FLAIR MR.
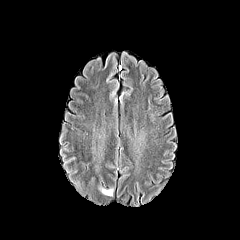
T1-weighted MR image.
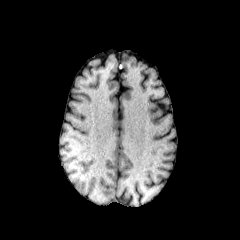
Post-contrast T1-weighted MRI.
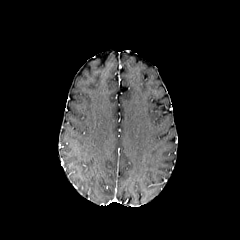
T2-weighted MR.
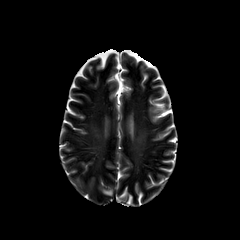
240x240 px; Head
- peritumoral edema: rect(100, 188, 113, 195)